240x240 px; Axial view
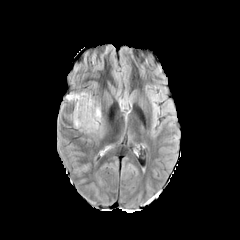
FLAIR MRI.
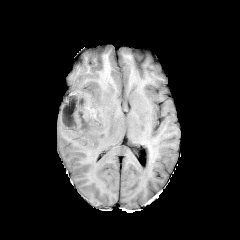
T1-weighted MR image.
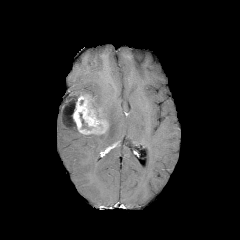
Post-contrast T1-weighted magnetic resonance.
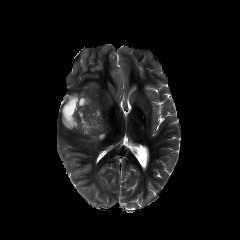
T2-weighted magnetic resonance.
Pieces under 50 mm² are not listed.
The enhancing tumor is located at (x1=60, y1=95, x2=107, y2=134). The 2 largest necrotic tumor core regions appear at (x1=79, y1=113, x2=90, y2=129), (x1=62, y1=100, x2=77, y2=127). The 2 largest peritumoral edema regions appear at (x1=90, y1=100, x2=101, y2=118), (x1=66, y1=92, x2=87, y2=101).